FLAIR MR image.
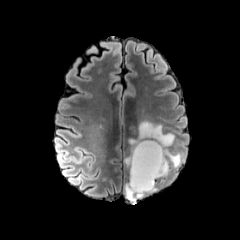
T1-weighted magnetic resonance.
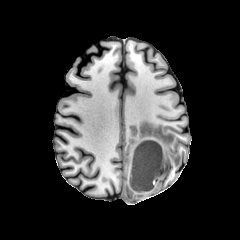
Post-contrast T1-weighted MR.
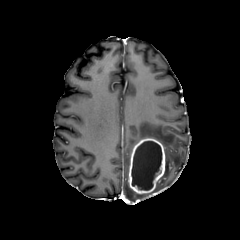
T2-weighted magnetic resonance.
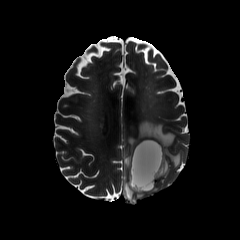
Head
necrotic tumor core = region(131, 141, 161, 190)
enhancing tumor = region(128, 138, 165, 194)
peritumoral edema = region(124, 182, 158, 202); region(124, 121, 182, 178)